FLAIR MR image.
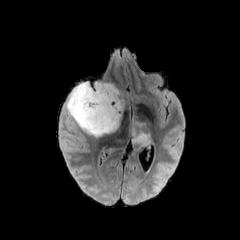
T1-weighted MR image.
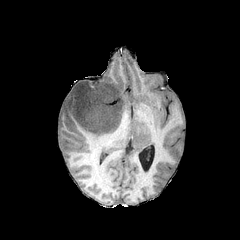
Post-contrast T1-weighted MR.
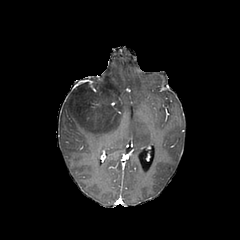
T2-weighted MR image.
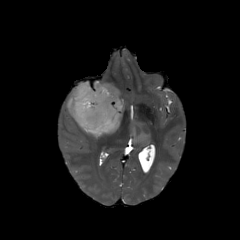
Brain
Annotated regions:
- peritumoral edema: bbox(125, 113, 150, 149); bbox(66, 82, 125, 139)